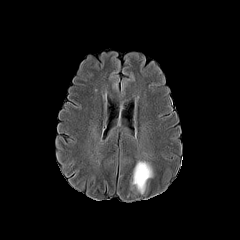
FLAIR MRI.
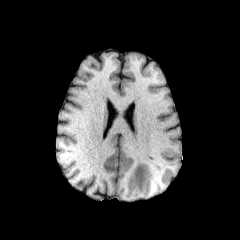
T1-weighted magnetic resonance.
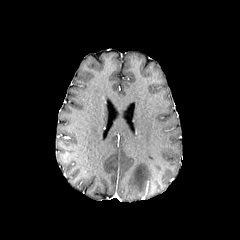
Post-contrast T1-weighted MR.
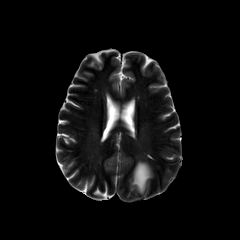
T2-weighted magnetic resonance.
240x240. Axial slice. Brain.
peritumoral edema = 131 161 152 193